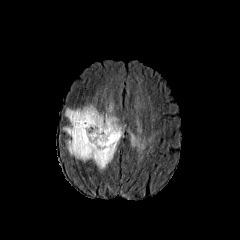
FLAIR MR.
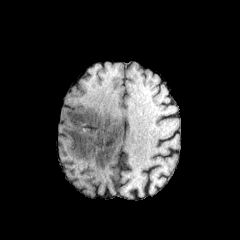
Same slice, T1-weighted MR image.
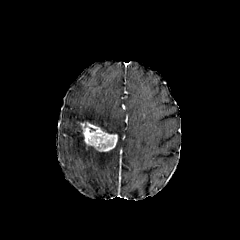
Post-contrast T1-weighted MR image.
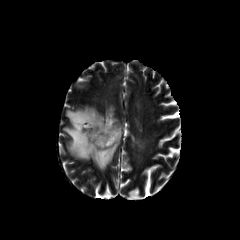
T2-weighted MR of the same slice.
Brain. Axial view.
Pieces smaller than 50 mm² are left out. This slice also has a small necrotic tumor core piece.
enhancing_tumor:
  - x1=78 y1=121 x2=117 y2=151
peritumoral_edema:
  - x1=63 y1=103 x2=126 y2=172
  - x1=136 y1=119 x2=141 y2=132
  - x1=126 y1=128 x2=147 y2=152